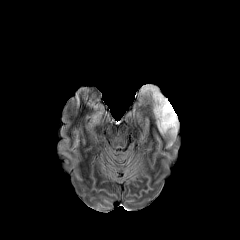
FLAIR MRI.
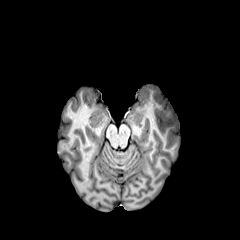
T1-weighted MR image of the same slice.
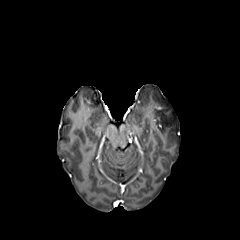
Post-contrast T1-weighted MRI.
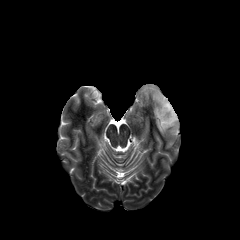
T2-weighted MRI.
Brain
peritumoral_edema:
  - 146:86:178:137